FLAIR MRI.
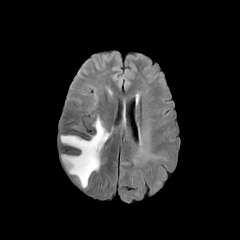
T1-weighted MRI.
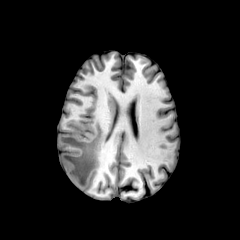
Post-contrast T1-weighted magnetic resonance.
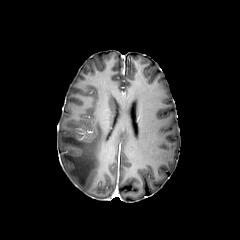
T2-weighted MR image.
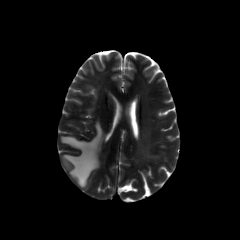
Image size 240x240
Annotated regions:
• peritumoral edema: 61:118:109:187